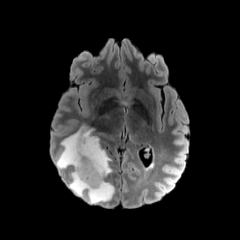
FLAIR magnetic resonance.
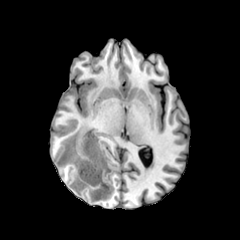
T1-weighted magnetic resonance.
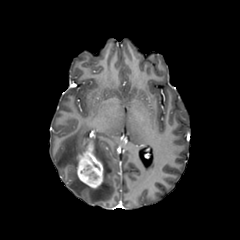
Post-contrast T1-weighted MRI.
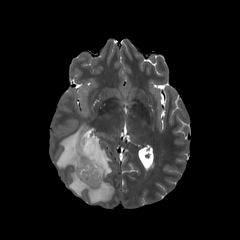
T2-weighted MR image of the same slice.
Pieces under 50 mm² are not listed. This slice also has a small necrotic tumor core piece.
enhancing tumor: <box>77,140,103,188</box> | peritumoral edema: <box>56,124,114,203</box>